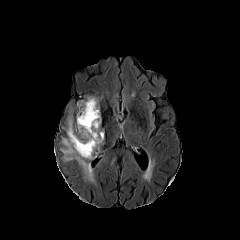
FLAIR magnetic resonance.
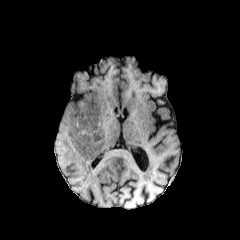
T1-weighted magnetic resonance of the same slice.
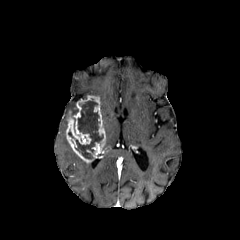
Same slice, post-contrast T1-weighted MR image.
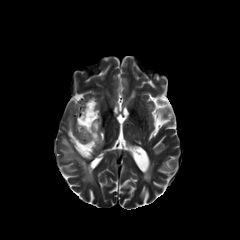
T2-weighted MR image.
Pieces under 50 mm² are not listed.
peritumoral_edema:
  - x1=60, y1=137, x2=95, y2=182
necrotic_tumor_core:
  - x1=68, y1=101, x2=103, y2=158
enhancing_tumor:
  - x1=66, y1=95, x2=105, y2=163